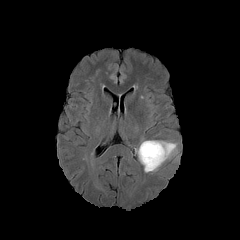
FLAIR MR image.
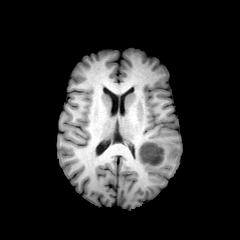
T1-weighted magnetic resonance.
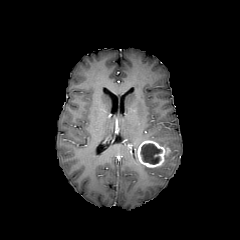
Post-contrast T1-weighted MR.
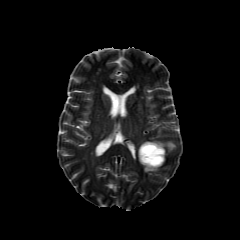
Same slice, T2-weighted MRI.
Brain
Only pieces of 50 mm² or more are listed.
{
  "enhancing_tumor": [
    "(137, 140, 170, 167)"
  ],
  "necrotic_tumor_core": [
    "(140, 143, 161, 164)"
  ],
  "peritumoral_edema": [
    "(151, 140, 176, 160)",
    "(143, 165, 160, 172)"
  ]
}